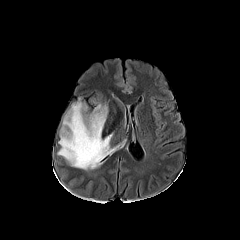
FLAIR MR image.
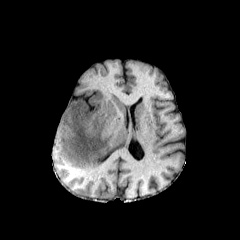
T1-weighted MR.
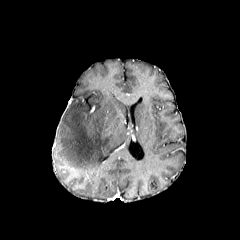
Post-contrast T1-weighted magnetic resonance.
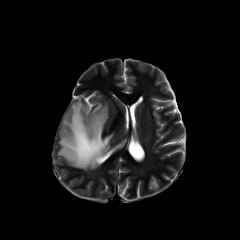
T2-weighted MR.
240x240. Head.
The peritumoral edema is located at [57,98,127,170].